FLAIR MRI.
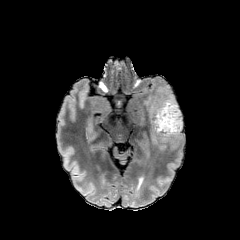
T1-weighted MR image.
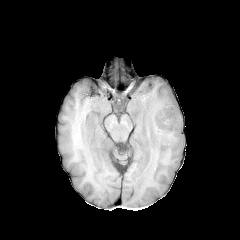
Post-contrast T1-weighted MR image.
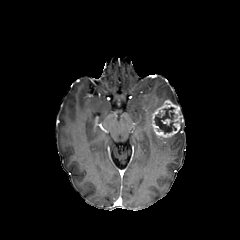
T2-weighted MR image.
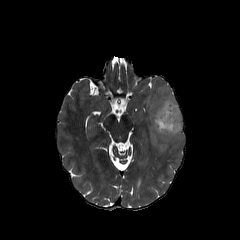
Brain, Axial plane, 240x240
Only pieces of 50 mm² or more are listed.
necrotic_tumor_core:
  - (x1=154, y1=107, x2=176, y2=133)
enhancing_tumor:
  - (x1=150, y1=99, x2=182, y2=138)
peritumoral_edema:
  - (x1=145, y1=87, x2=177, y2=122)
  - (x1=151, y1=122, x2=182, y2=151)